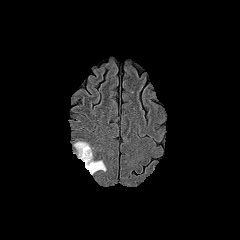
FLAIR MRI.
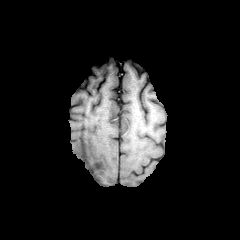
T1-weighted MR.
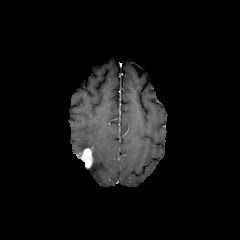
Post-contrast T1-weighted magnetic resonance.
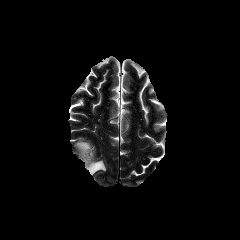
Same slice, T2-weighted MR image.
240x240, Head
2 peritumoral edema regions are located at l=74, t=141, r=92, b=155; l=87, t=156, r=106, b=174. The enhancing tumor is located at l=77, t=148, r=92, b=168.